Brain | Image covers 240 mm x 240 mm
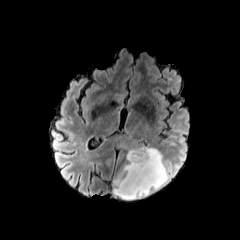
FLAIR magnetic resonance.
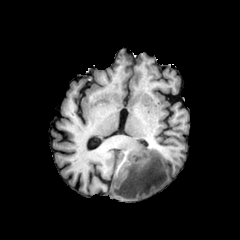
Same slice, T1-weighted MR.
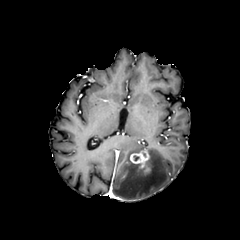
Post-contrast T1-weighted MR image of the same slice.
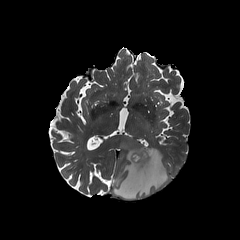
Same slice, T2-weighted magnetic resonance.
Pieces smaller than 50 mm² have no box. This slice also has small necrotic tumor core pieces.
{"enhancing_tumor": ["(left=130, top=149, right=150, bottom=173)"], "peritumoral_edema": ["(left=113, top=147, right=170, bottom=200)"]}